FLAIR MRI.
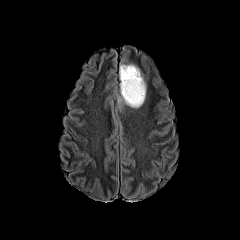
T1-weighted MRI.
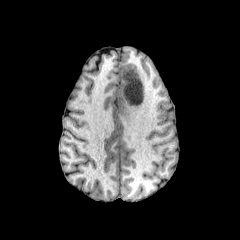
Post-contrast T1-weighted magnetic resonance.
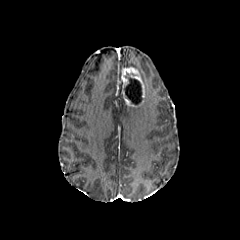
T2-weighted MR.
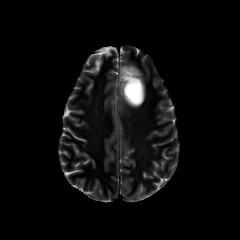
Head
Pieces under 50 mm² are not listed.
necrotic tumor core: [124,78,142,104] | enhancing tumor: [121,67,144,106] | peritumoral edema: [118,81,123,102], [119,64,146,101]